Slice 59/155, Brain, 240x240
FLAIR MR image.
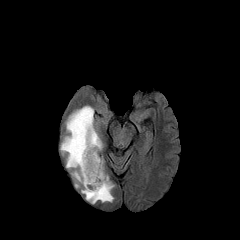
T1-weighted MR.
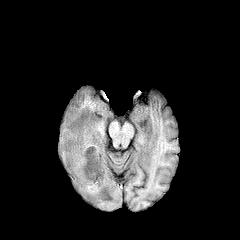
Post-contrast T1-weighted MRI.
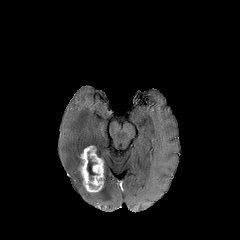
T2-weighted MRI.
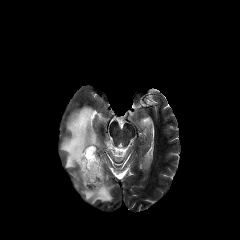
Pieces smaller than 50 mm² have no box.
{
  "enhancing_tumor": [
    "79, 145, 104, 192"
  ],
  "necrotic_tumor_core": [
    "87, 157, 95, 179"
  ],
  "peritumoral_edema": [
    "60, 105, 114, 203"
  ]
}